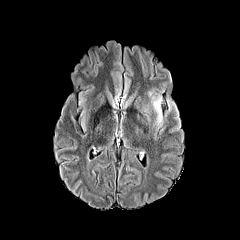
FLAIR magnetic resonance.
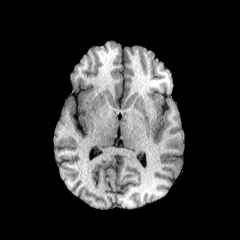
T1-weighted MRI.
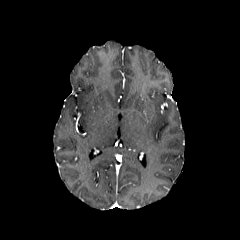
Same slice, post-contrast T1-weighted MR.
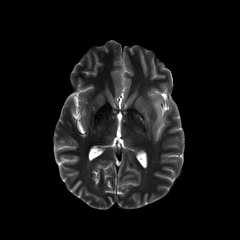
T2-weighted MRI.
Axial plane, Brain
The peritumoral edema is located at 151:96:162:125.